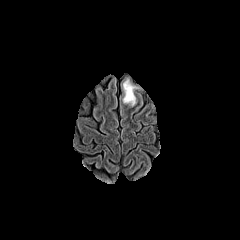
FLAIR MR image.
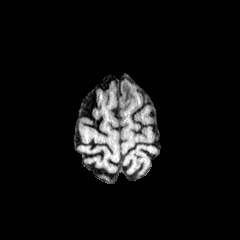
T1-weighted MRI.
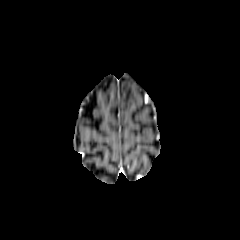
Same slice, post-contrast T1-weighted MR.
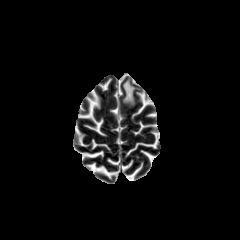
T2-weighted MR image.
240x240 px | Brain
The peritumoral edema is bounded by (123,79,135,105).